Head; Axial view
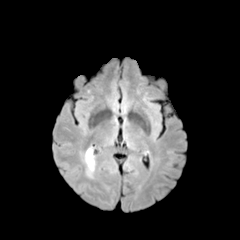
FLAIR MRI.
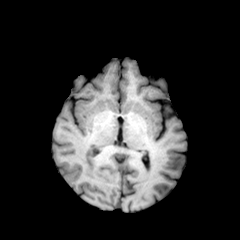
T1-weighted magnetic resonance.
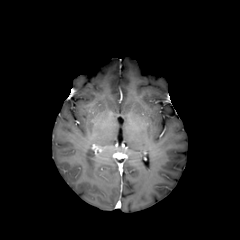
Post-contrast T1-weighted magnetic resonance.
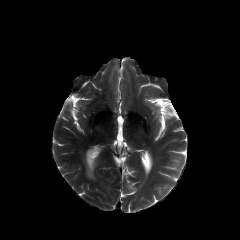
T2-weighted MR.
peritumoral edema = x1=84, y1=148, x2=95, y2=177